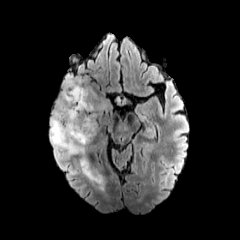
FLAIR MR image.
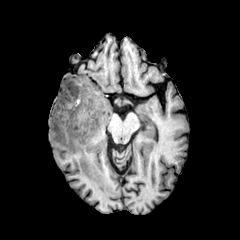
T1-weighted magnetic resonance of the same slice.
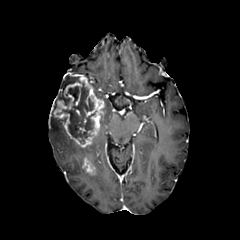
Post-contrast T1-weighted magnetic resonance of the same slice.
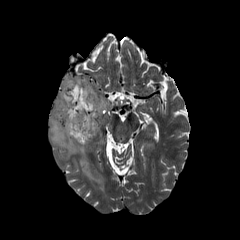
T2-weighted MR image of the same slice.
Axial plane. Brain.
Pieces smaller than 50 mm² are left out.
necrotic tumor core — box=[58, 90, 70, 105]; box=[63, 83, 93, 143]
peritumoral edema — box=[50, 115, 84, 156]; box=[63, 75, 80, 89]; box=[80, 157, 103, 188]
enhancing tumor — box=[53, 75, 104, 147]; box=[82, 157, 95, 174]